FLAIR MRI.
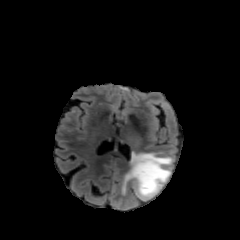
T1-weighted MRI.
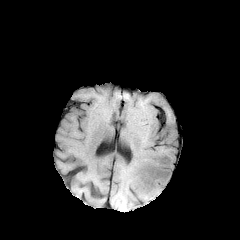
Post-contrast T1-weighted MRI.
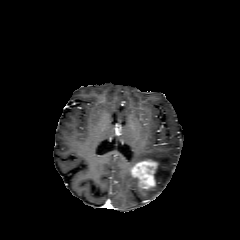
T2-weighted MRI.
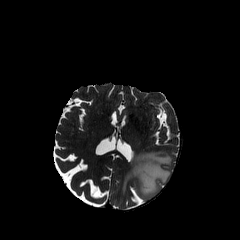
Axial view | Image size 240x240
Findings:
- peritumoral edema: (x1=121, y1=152, x2=173, y2=200)
- enhancing tumor: (x1=131, y1=160, x2=157, y2=188)